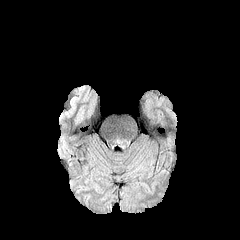
FLAIR MR image.
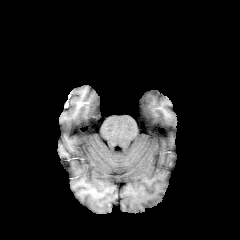
T1-weighted MR image.
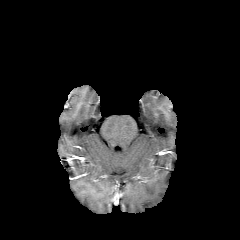
Same slice, post-contrast T1-weighted MRI.
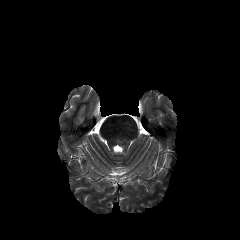
T2-weighted magnetic resonance.
Axial slice. Brain. 240x240 px.
peritumoral edema: bounding box [116, 138, 128, 147]